FLAIR magnetic resonance.
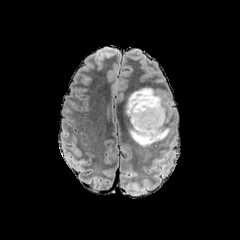
T1-weighted MRI.
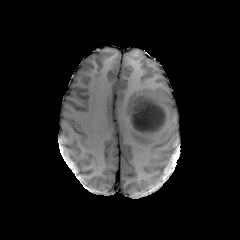
Post-contrast T1-weighted MRI.
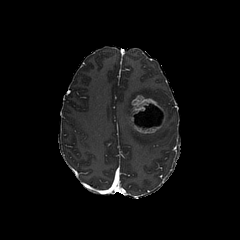
T2-weighted magnetic resonance.
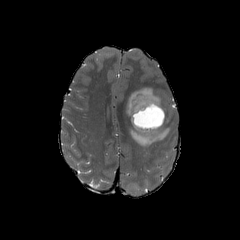
necrotic tumor core at left=133, top=103, right=163, bottom=129
enhancing tumor at left=131, top=95, right=165, bottom=133
peritumoral edema at left=126, top=88, right=160, bottom=121; left=130, top=127, right=168, bottom=146